Axial plane | Brain | Image width 240 mm | Slice index 115
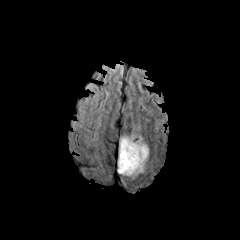
FLAIR MRI.
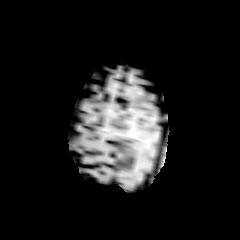
T1-weighted MRI of the same slice.
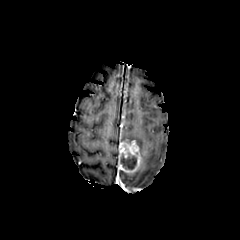
Same slice, post-contrast T1-weighted MR image.
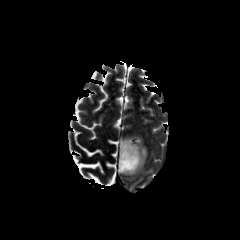
T2-weighted MR image.
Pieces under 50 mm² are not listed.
{"necrotic_tumor_core": ["box=[121, 153, 136, 169]"], "enhancing_tumor": ["box=[118, 140, 141, 173]"], "peritumoral_edema": ["box=[119, 141, 148, 176]", "box=[121, 136, 133, 141]"]}